FLAIR MRI.
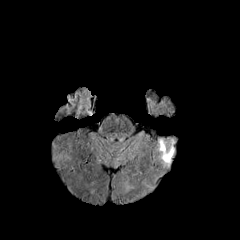
T1-weighted MR.
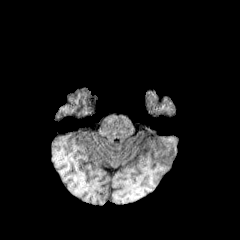
Post-contrast T1-weighted MR.
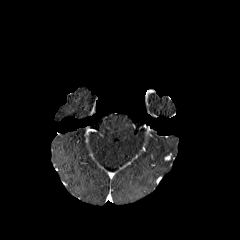
T2-weighted MR.
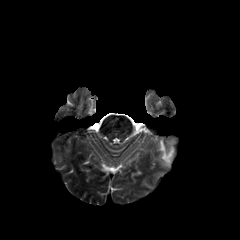
Axial view. 240x240.
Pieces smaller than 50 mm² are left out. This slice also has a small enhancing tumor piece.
{"peritumoral_edema": ["box=[159, 139, 174, 166]"]}